FLAIR MR image.
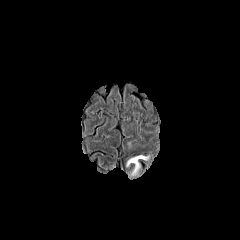
T1-weighted MRI.
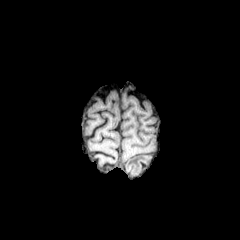
Post-contrast T1-weighted MR.
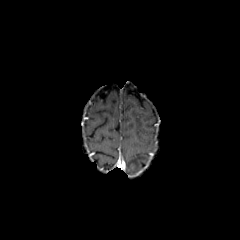
T2-weighted MR.
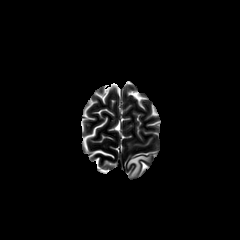
Axial view. 240x240.
peritumoral edema = (125, 154, 150, 175)